Image width 240 mm, Axial plane, Slice 82 of 155
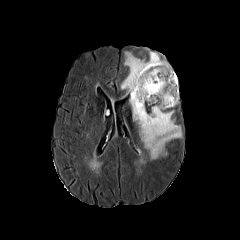
FLAIR MR.
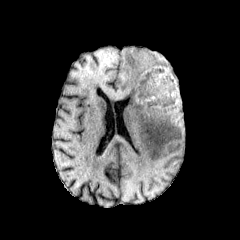
T1-weighted MRI.
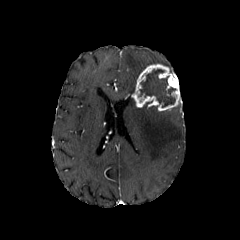
Same slice, post-contrast T1-weighted magnetic resonance.
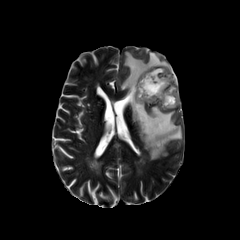
Same slice, T2-weighted MRI.
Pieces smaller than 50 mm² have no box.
peritumoral_edema:
  - (130, 98, 182, 159)
  - (121, 51, 172, 95)
enhancing_tumor:
  - (131, 64, 180, 111)
necrotic_tumor_core:
  - (140, 69, 175, 107)